FLAIR MR image.
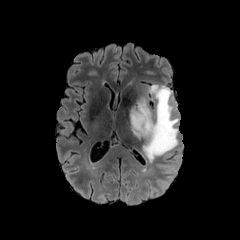
T1-weighted MR.
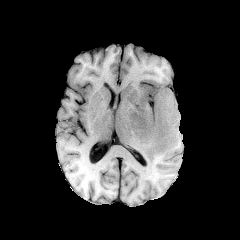
Post-contrast T1-weighted MRI.
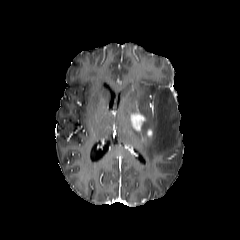
T2-weighted MR.
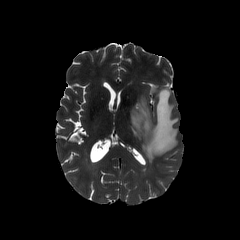
240x240, Head
<segmentation>
  <peritumoral_edema>x1=130 y1=84 x2=178 y2=161</peritumoral_edema>
  <enhancing_tumor>x1=130 y1=110 x2=146 y2=131, x1=146 y1=128 x2=153 y2=137</enhancing_tumor>
</segmentation>